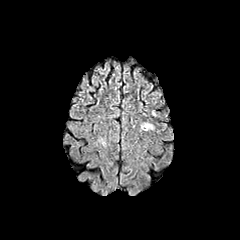
FLAIR MR.
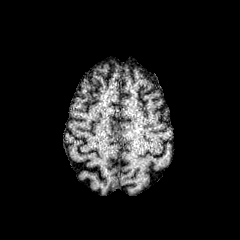
T1-weighted MR.
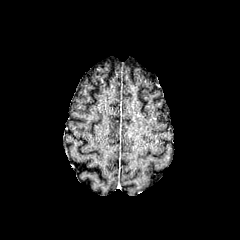
Post-contrast T1-weighted MR image of the same slice.
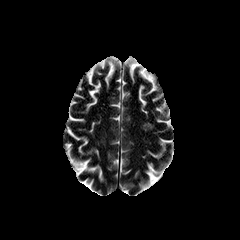
T2-weighted MR.
Head. Image size 240x240. Axial plane.
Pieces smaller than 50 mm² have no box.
peritumoral edema = 141,122,153,130